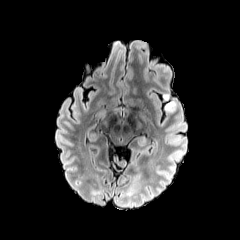
FLAIR MR image.
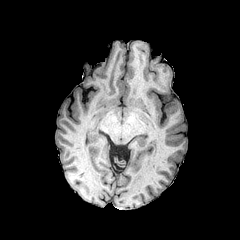
Same slice, T1-weighted magnetic resonance.
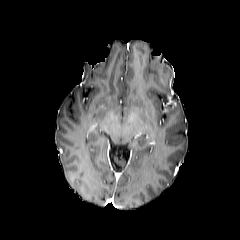
Post-contrast T1-weighted MR image.
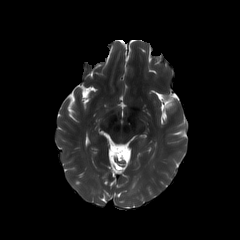
T2-weighted MR.
Brain
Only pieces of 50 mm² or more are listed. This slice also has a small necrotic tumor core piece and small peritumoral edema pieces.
enhancing tumor = box(166, 97, 176, 109)